Image covers 240 mm x 240 mm
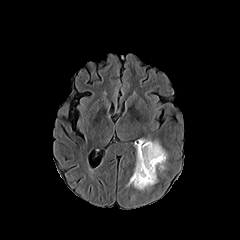
FLAIR MR image.
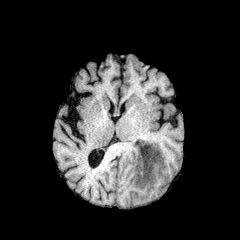
Same slice, T1-weighted MR image.
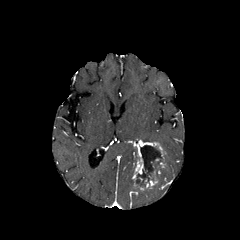
Same slice, post-contrast T1-weighted magnetic resonance.
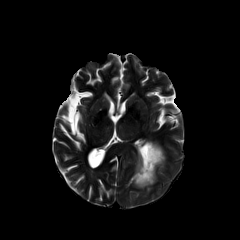
T2-weighted MRI.
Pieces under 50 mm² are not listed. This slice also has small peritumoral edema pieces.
necrotic tumor core — [136, 145, 163, 186]
enhancing tumor — [132, 140, 165, 189]